Brain | Axial slice
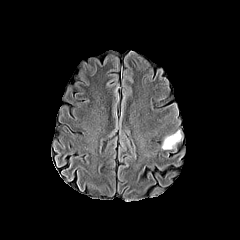
FLAIR MRI.
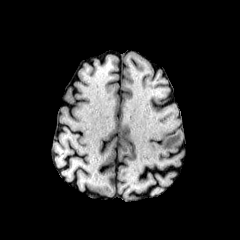
T1-weighted MR of the same slice.
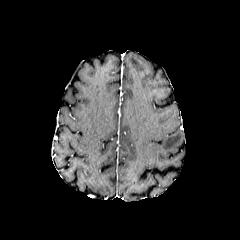
Post-contrast T1-weighted MRI of the same slice.
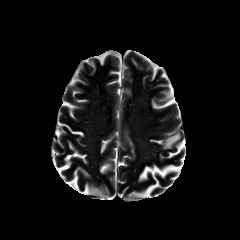
T2-weighted MRI.
<segmentation>
  <peritumoral_edema>rect(162, 131, 181, 149)</peritumoral_edema>
</segmentation>